Image covers 240 mm x 240 mm | Axial slice | Slice 102 of 155 | Brain
FLAIR MR.
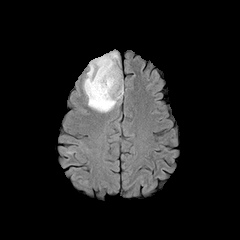
T1-weighted MRI.
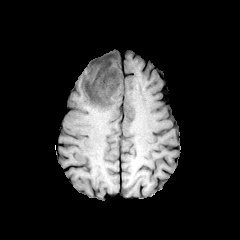
Post-contrast T1-weighted MR image.
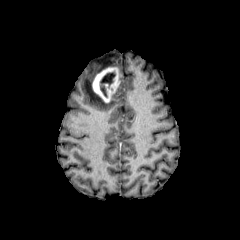
T2-weighted MR image.
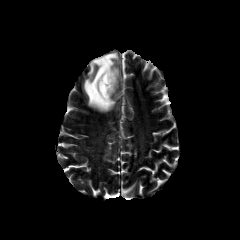
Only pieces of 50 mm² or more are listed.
peritumoral edema — {"x1": 82, "y1": 51, "x2": 123, "y2": 112}
enhancing tumor — {"x1": 92, "y1": 67, "x2": 120, "y2": 102}
necrotic tumor core — {"x1": 100, "y1": 72, "x2": 115, "y2": 97}